FLAIR magnetic resonance.
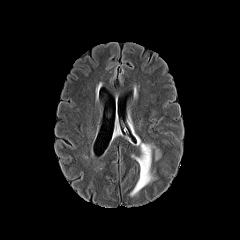
T1-weighted MR.
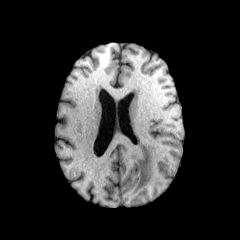
Post-contrast T1-weighted MR.
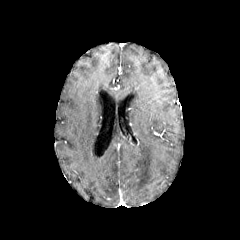
T2-weighted MRI.
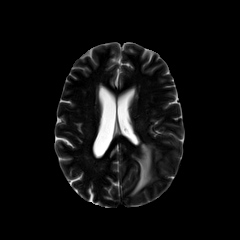
Axial plane; 240x240 px
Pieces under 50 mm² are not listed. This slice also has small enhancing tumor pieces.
• peritumoral edema: rect(130, 139, 162, 196)